Slice 32 of 155. Image covers 240 mm x 240 mm.
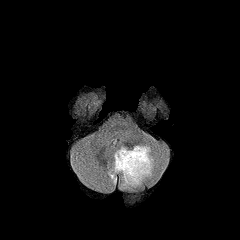
FLAIR MR image.
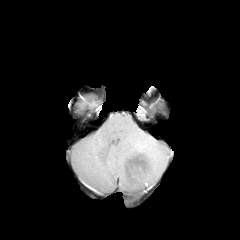
Same slice, T1-weighted MR.
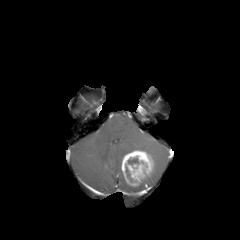
Post-contrast T1-weighted magnetic resonance.
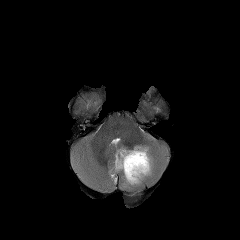
T2-weighted MRI of the same slice.
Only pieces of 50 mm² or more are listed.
The peritumoral edema is bounded by <bbox>108, 145, 157, 189</bbox>. The largest necrotic tumor core region is bounded by <bbox>128, 158, 138, 164</bbox>. The enhancing tumor is bounded by <bbox>121, 150, 153, 186</bbox>.